FLAIR MR image.
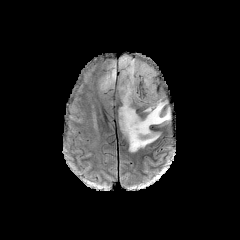
T1-weighted MRI.
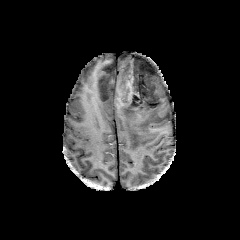
Post-contrast T1-weighted MR.
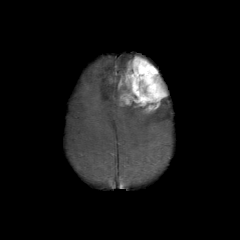
T2-weighted MRI.
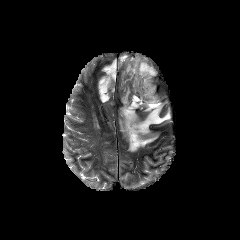
Brain
<segmentation>
  <peritumoral_edema>bbox=[148, 60, 163, 81]; bbox=[119, 100, 170, 151]; bbox=[98, 54, 138, 102]</peritumoral_edema>
  <enhancing_tumor>bbox=[118, 56, 167, 113]</enhancing_tumor>
</segmentation>